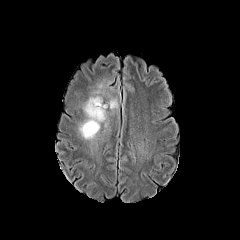
FLAIR MR image.
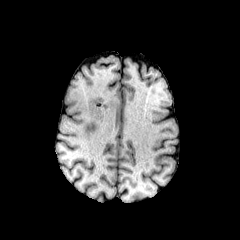
Same slice, T1-weighted magnetic resonance.
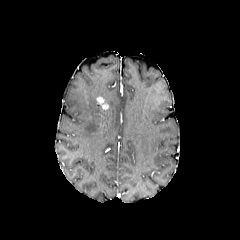
Post-contrast T1-weighted magnetic resonance of the same slice.
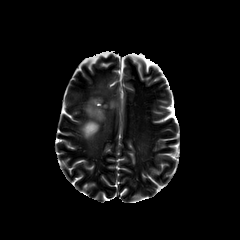
T2-weighted magnetic resonance.
Axial view
{
  "enhancing_tumor": [
    "bbox=[96, 97, 108, 109]"
  ],
  "peritumoral_edema": [
    "bbox=[95, 79, 118, 109]",
    "bbox=[79, 95, 105, 139]"
  ]
}